FLAIR MR image.
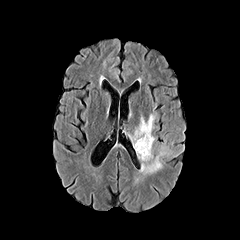
T1-weighted MR image.
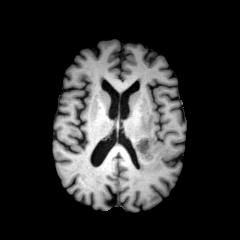
Post-contrast T1-weighted MR.
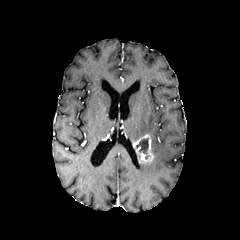
T2-weighted MR image.
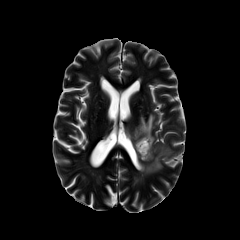
Head, Axial view, 240x240 px
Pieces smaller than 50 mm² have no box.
The largest necrotic tumor core region is located at (136, 138, 148, 153). 2 peritumoral edema regions appear at (130, 111, 158, 150), (138, 145, 172, 176). The enhancing tumor is located at (133, 134, 153, 162).